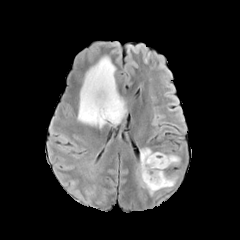
FLAIR MRI.
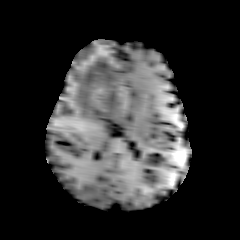
T1-weighted MR image.
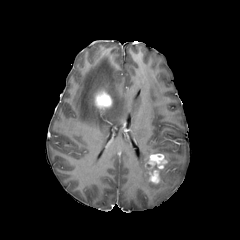
Post-contrast T1-weighted MR.
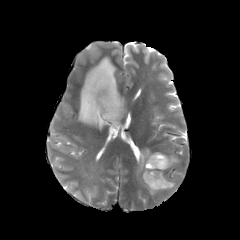
Same slice, T2-weighted MR image.
Brain, Image size 240x240
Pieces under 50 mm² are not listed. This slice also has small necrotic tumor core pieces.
peritumoral edema — (x1=139, y1=148, x2=181, y2=194), (x1=78, y1=56, x2=126, y2=128)
enhancing tumor — (x1=94, y1=90, x2=112, y2=109), (x1=147, y1=153, x2=167, y2=183)